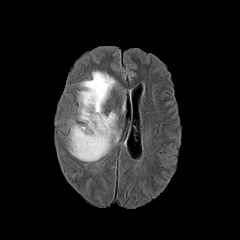
FLAIR magnetic resonance.
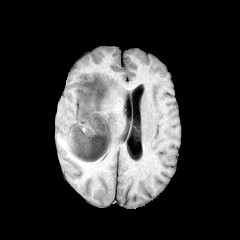
Same slice, T1-weighted MRI.
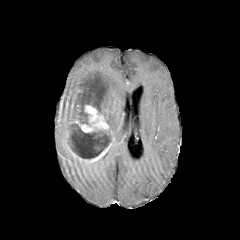
Same slice, post-contrast T1-weighted MRI.
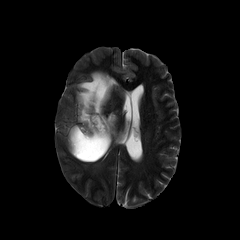
T2-weighted MR.
Head.
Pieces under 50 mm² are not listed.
necrotic tumor core: 71 125 103 159 | enhancing tumor: 71 104 110 162 | peritumoral edema: 67 120 78 154, 77 71 120 156